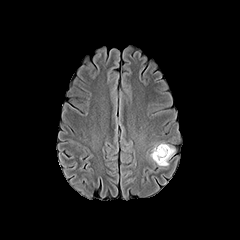
FLAIR magnetic resonance.
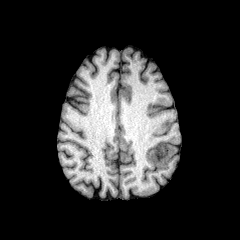
T1-weighted magnetic resonance.
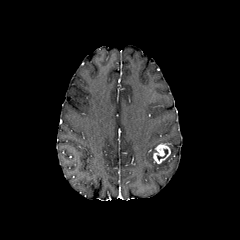
Post-contrast T1-weighted magnetic resonance.
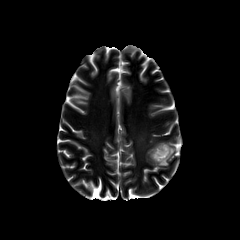
Same slice, T2-weighted MR image.
Head
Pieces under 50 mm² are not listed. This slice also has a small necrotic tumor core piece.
The enhancing tumor lies within <box>153,143,170,163</box>. The largest peritumoral edema region appears at <box>159,144,176,166</box>.